FLAIR magnetic resonance.
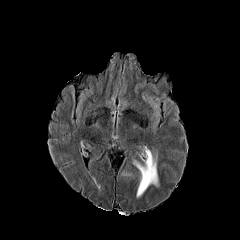
T1-weighted MR image.
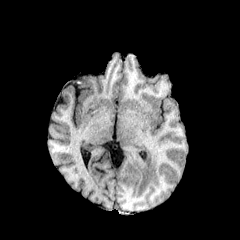
Post-contrast T1-weighted MR.
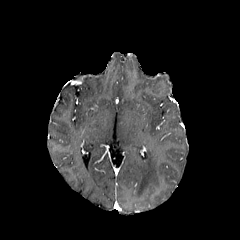
T2-weighted MRI.
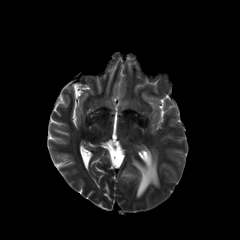
Axial plane
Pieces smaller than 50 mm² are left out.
The largest peritumoral edema region is at box(133, 149, 158, 197).